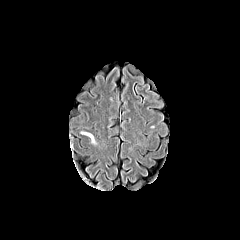
FLAIR MR.
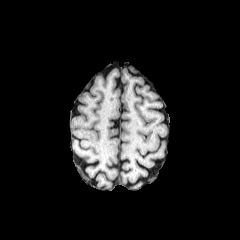
T1-weighted MR.
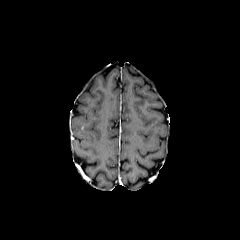
Post-contrast T1-weighted MRI.
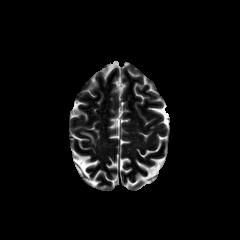
T2-weighted MR image.
Head. Image size 240x240. Axial slice.
The peritumoral edema is bounded by bbox=[81, 132, 95, 144].